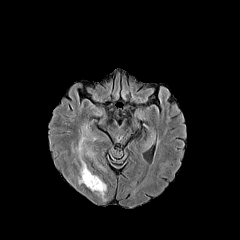
FLAIR MR.
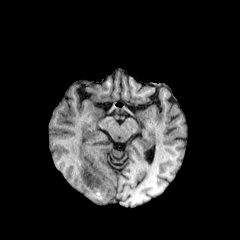
T1-weighted MR image.
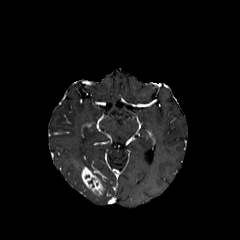
Post-contrast T1-weighted MR.
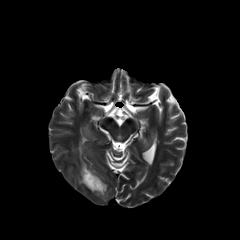
T2-weighted MR image.
Image size 240x240; Head
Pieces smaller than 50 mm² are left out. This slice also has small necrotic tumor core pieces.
The enhancing tumor appears at x1=82 y1=167 x2=104 y2=195. The 2 largest peritumoral edema regions appear at x1=71 y1=121 x2=107 y2=172, x1=99 y1=178 x2=107 y2=201.